FLAIR MR.
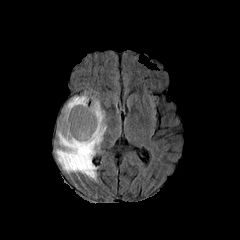
T1-weighted MR.
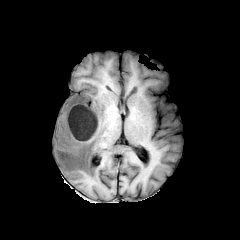
Post-contrast T1-weighted MR.
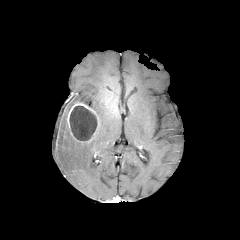
T2-weighted MR.
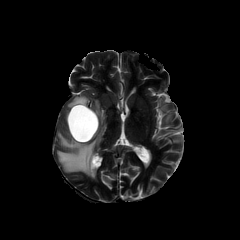
Head | 240x240
{"enhancing_tumor": ["region(66, 102, 99, 142)"], "peritumoral_edema": ["region(55, 94, 106, 180)"], "necrotic_tumor_core": ["region(69, 106, 97, 141)"]}